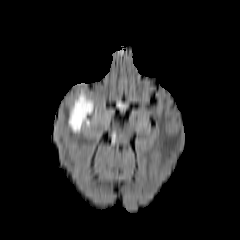
FLAIR MRI.
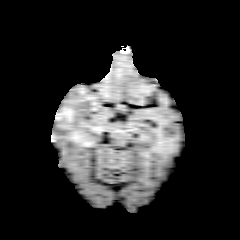
T1-weighted MR.
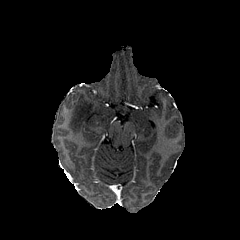
Post-contrast T1-weighted MR of the same slice.
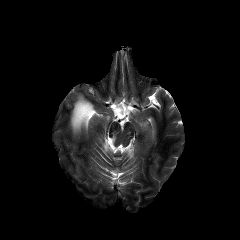
T2-weighted MR of the same slice.
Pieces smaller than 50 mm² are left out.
peritumoral edema: l=69, t=93, r=93, b=133